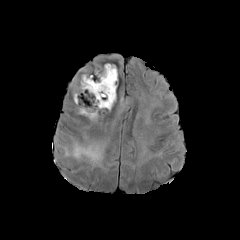
FLAIR MR.
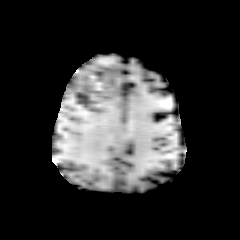
T1-weighted MR image.
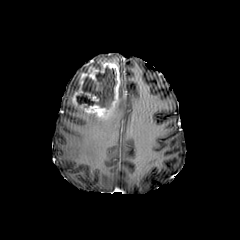
Same slice, post-contrast T1-weighted MR image.
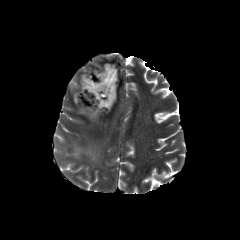
T2-weighted magnetic resonance.
Axial plane. Head.
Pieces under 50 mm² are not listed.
necrotic tumor core = {"x1": 77, "y1": 66, "x2": 117, "y2": 107}
enhancing tumor = {"x1": 73, "y1": 62, "x2": 120, "y2": 118}, {"x1": 85, "y1": 92, "x2": 98, "y2": 101}
peritumoral edema = {"x1": 78, "y1": 108, "x2": 98, "y2": 121}, {"x1": 64, "y1": 144, "x2": 103, "y2": 164}